FLAIR magnetic resonance.
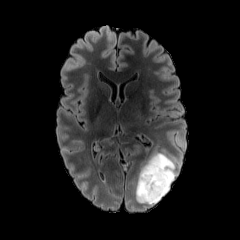
T1-weighted MR image.
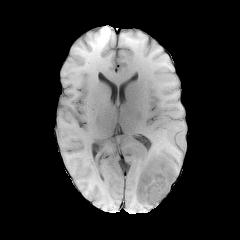
Post-contrast T1-weighted MR image.
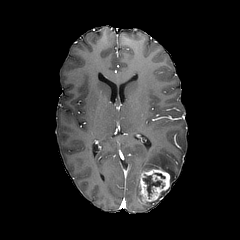
T2-weighted MR image.
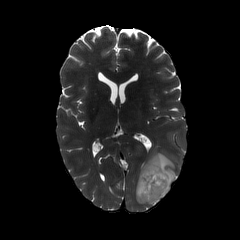
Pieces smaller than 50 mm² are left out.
peritumoral edema = [145,188,169,206], [135,152,179,204]
enhancing tumor = [139,168,170,203]
necrotic tumor core = [143,175,161,196]